FLAIR MRI.
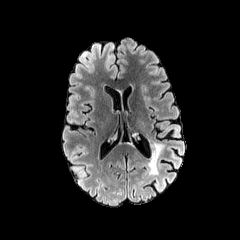
T1-weighted MR image.
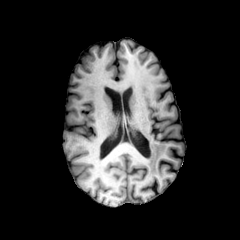
Post-contrast T1-weighted MR.
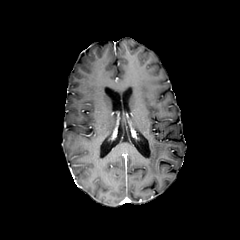
T2-weighted MR.
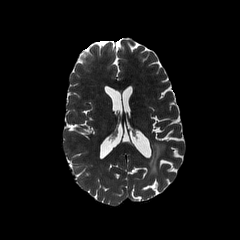
240x240, Head
Findings:
* peritumoral edema: (149, 143, 164, 172)